FLAIR MR.
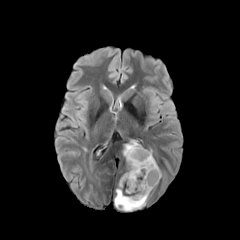
T1-weighted MRI.
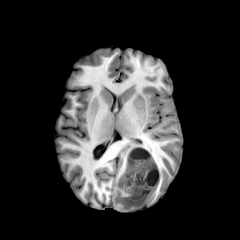
Post-contrast T1-weighted magnetic resonance.
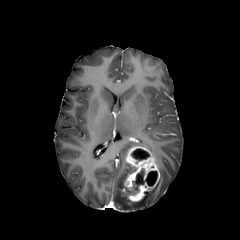
T2-weighted MR image.
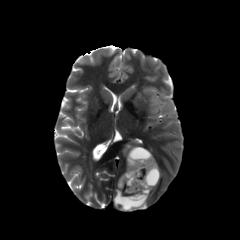
Brain, Axial slice
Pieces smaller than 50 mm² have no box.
peritumoral edema: 123:142:139:157, 114:167:149:210 | enhancing tumor: 124:146:159:201 | necrotic tumor core: 131:148:149:160, 133:169:157:190